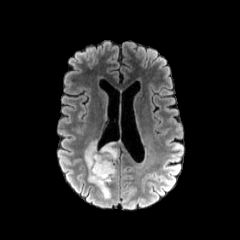
FLAIR MRI.
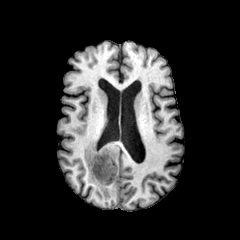
T1-weighted MR image.
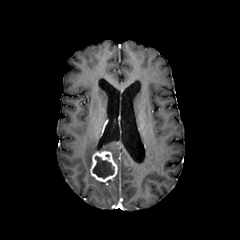
Post-contrast T1-weighted MRI.
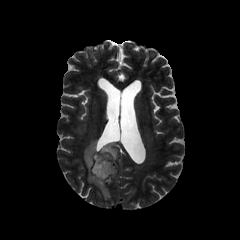
T2-weighted magnetic resonance of the same slice.
Axial slice.
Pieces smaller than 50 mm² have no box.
Findings:
- enhancing tumor: region(90, 150, 117, 182)
- necrotic tumor core: region(93, 156, 114, 178)
- peritumoral edema: region(84, 140, 117, 198)